Head | 240x240 px | Slice 89 of 155 | Axial slice
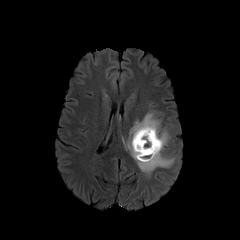
FLAIR MR image.
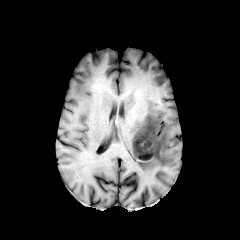
T1-weighted MR.
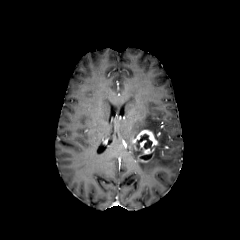
Post-contrast T1-weighted MRI.
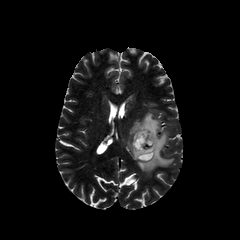
T2-weighted magnetic resonance.
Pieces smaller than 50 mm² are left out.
peritumoral edema at [127,112,174,174]
necrotic tumor core at [136,134,152,149], [139,154,152,160]
enhancing tumor at [132,130,158,158]